Slice index 84
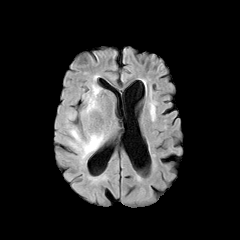
FLAIR magnetic resonance.
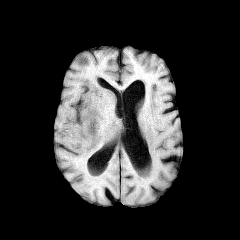
Same slice, T1-weighted MR image.
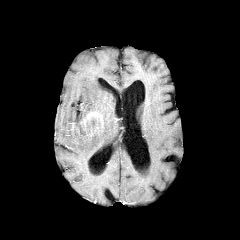
Same slice, post-contrast T1-weighted magnetic resonance.
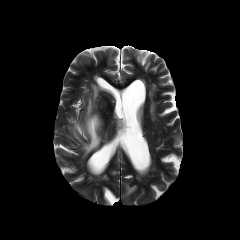
Same slice, T2-weighted MR image.
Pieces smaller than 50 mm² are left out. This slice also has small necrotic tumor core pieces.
<segmentation>
  <peritumoral_edema>left=81, top=84, right=100, bottom=121; left=66, top=113, right=105, bottom=158</peritumoral_edema>
  <enhancing_tumor>left=80, top=112, right=98, bottom=134</enhancing_tumor>
</segmentation>